240x240. Slice 59/155. Axial view. Image width 240 mm, 1.00 mm slice spacing.
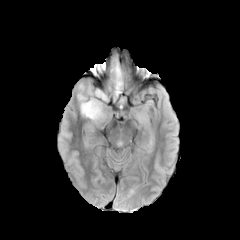
FLAIR MR.
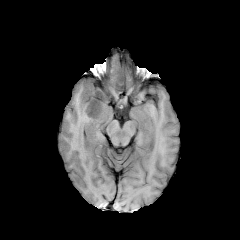
T1-weighted MR image.
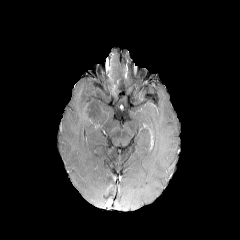
Post-contrast T1-weighted MRI.
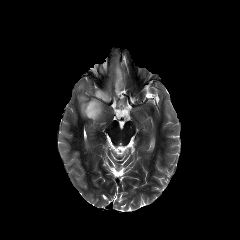
T2-weighted MR.
2 peritumoral edema regions appear at l=76, t=78, r=108, b=122; l=111, t=60, r=123, b=100.